240x240 px | Axial view
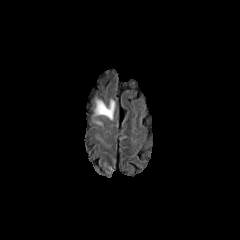
FLAIR MRI.
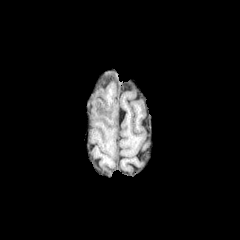
T1-weighted MR image of the same slice.
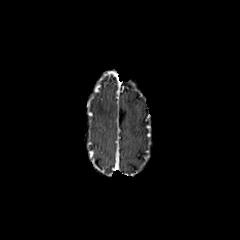
Post-contrast T1-weighted MR.
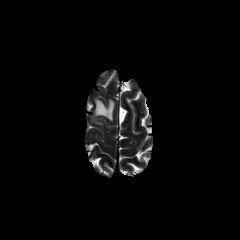
T2-weighted MR image of the same slice.
The peritumoral edema lies within bbox(95, 100, 114, 119).